Axial plane; Slice 107 of 155
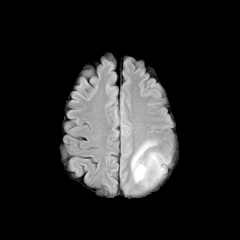
FLAIR MR.
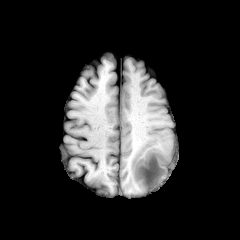
T1-weighted MR of the same slice.
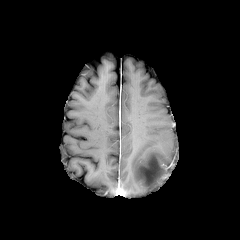
Same slice, post-contrast T1-weighted MR.
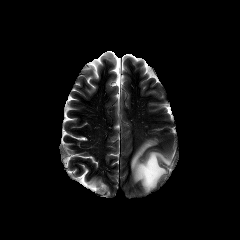
Same slice, T2-weighted magnetic resonance.
peritumoral edema: <box>131,141,169,192</box>